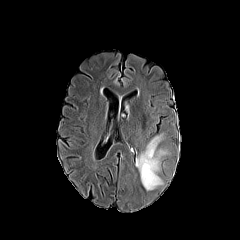
FLAIR MR image.
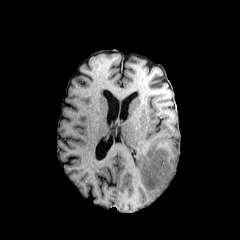
Same slice, T1-weighted magnetic resonance.
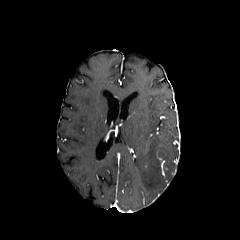
Same slice, post-contrast T1-weighted MRI.
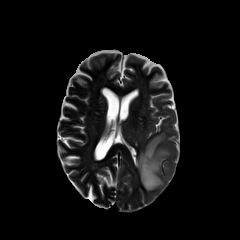
T2-weighted MR.
240x240.
{
  "peritumoral_edema": [
    "x1=135 y1=134 x2=167 y2=190"
  ]
}